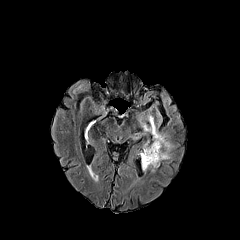
FLAIR magnetic resonance.
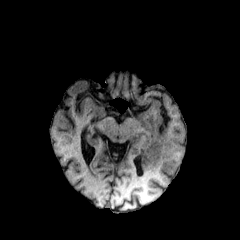
T1-weighted MR of the same slice.
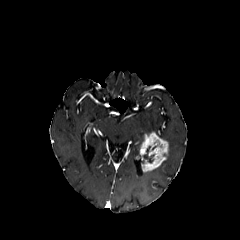
Same slice, post-contrast T1-weighted MRI.
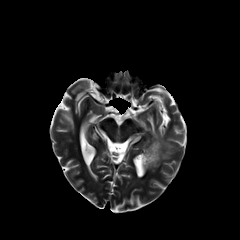
T2-weighted MR image of the same slice.
Head. 240x240. Axial plane.
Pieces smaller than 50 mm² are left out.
The largest peritumoral edema region appears at (left=132, top=115, right=164, bottom=139). The largest necrotic tumor core region lies within (left=143, top=146, right=154, bottom=162). The enhancing tumor is bounded by (left=140, top=132, right=168, bottom=172).